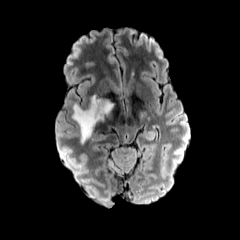
FLAIR magnetic resonance.
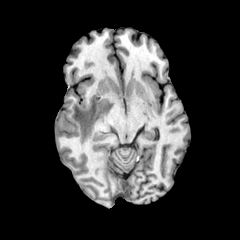
Same slice, T1-weighted MR image.
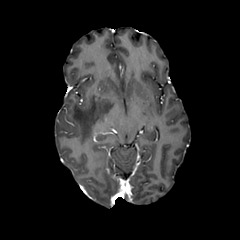
Post-contrast T1-weighted MRI.
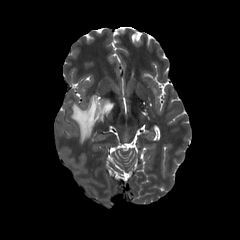
Same slice, T2-weighted MR.
Axial slice; 240x240 px; Head
The peritumoral edema is at x1=72 y1=95 x2=113 y2=143.